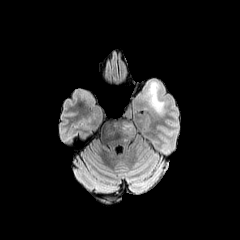
FLAIR MR image.
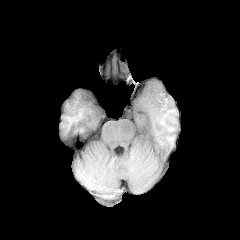
T1-weighted MR.
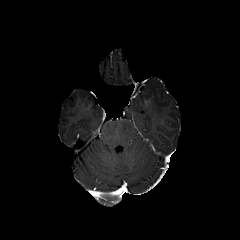
Same slice, post-contrast T1-weighted magnetic resonance.
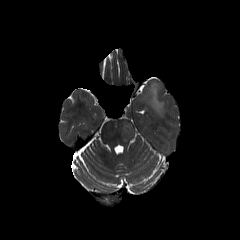
T2-weighted MRI.
Brain
2 peritumoral edema regions are bounded by bbox=[147, 82, 164, 114]; bbox=[115, 121, 134, 135].